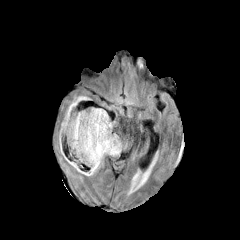
FLAIR MR.
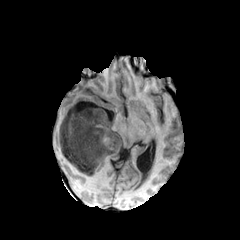
T1-weighted MRI.
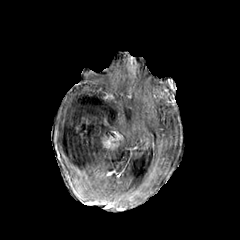
Post-contrast T1-weighted MRI.
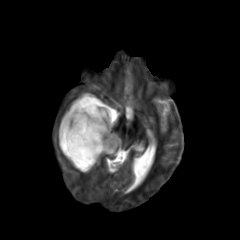
T2-weighted magnetic resonance.
Axial plane. Head.
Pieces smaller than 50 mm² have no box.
enhancing tumor — bbox(103, 133, 121, 148)
peritumoral edema — bbox(61, 92, 121, 175)
necrotic tumor core — bbox(58, 116, 98, 167)